FLAIR MR.
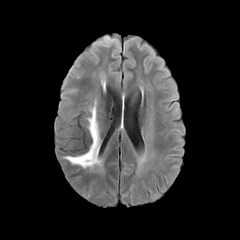
T1-weighted MR.
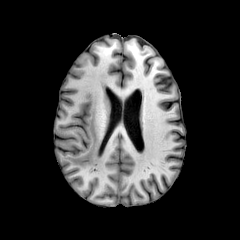
Post-contrast T1-weighted magnetic resonance.
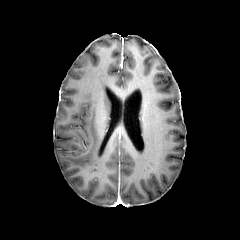
T2-weighted MR.
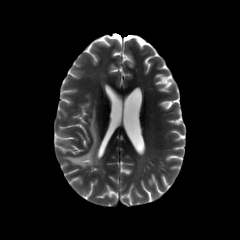
Brain.
Segmented structures:
- peritumoral edema: 65, 108, 101, 168